Slice index 103 | 240x240
FLAIR MR image.
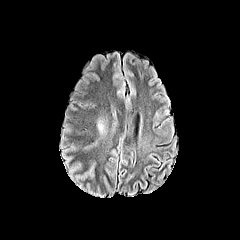
T1-weighted MR image.
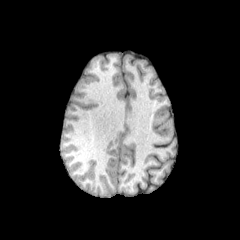
Post-contrast T1-weighted MRI.
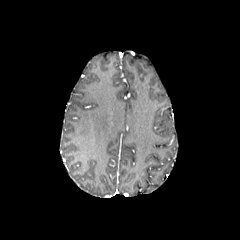
T2-weighted MR.
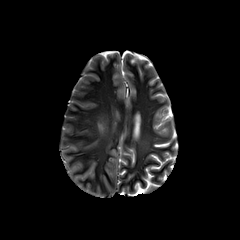
The peritumoral edema is bounded by rect(84, 115, 107, 150).